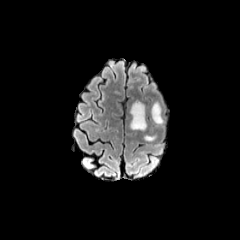
FLAIR MRI.
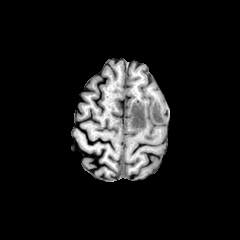
Same slice, T1-weighted MR image.
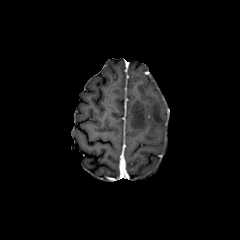
Post-contrast T1-weighted MRI of the same slice.
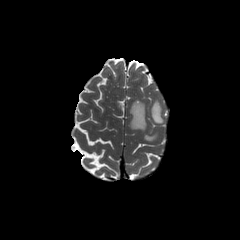
T2-weighted MR.
Axial view. 240x240 px.
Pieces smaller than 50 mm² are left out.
peritumoral_edema:
  - l=151, t=101, r=163, b=123
  - l=130, t=101, r=146, b=130